FLAIR MR image.
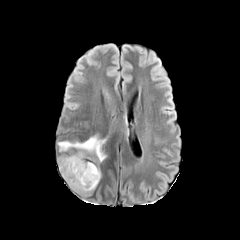
T1-weighted magnetic resonance.
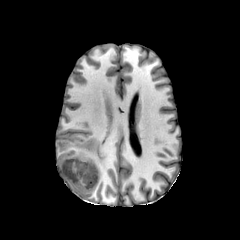
Post-contrast T1-weighted MRI.
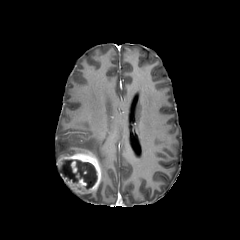
T2-weighted MR.
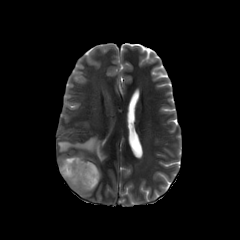
Image size 240x240; Axial slice
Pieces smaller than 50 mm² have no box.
<segmentation>
  <enhancing_tumor>[x1=57, y1=150, x2=101, y2=193]</enhancing_tumor>
  <necrotic_tumor_core>[x1=59, y1=159, x2=97, y2=189]</necrotic_tumor_core>
  <peritumoral_edema>[x1=57, y1=135, x2=106, y2=163]</peritumoral_edema>
</segmentation>